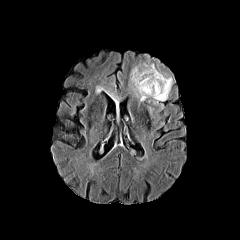
FLAIR MRI.
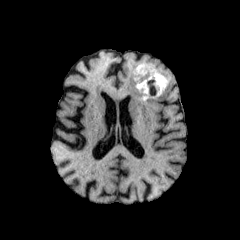
T1-weighted magnetic resonance.
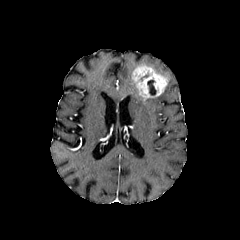
Post-contrast T1-weighted MR image.
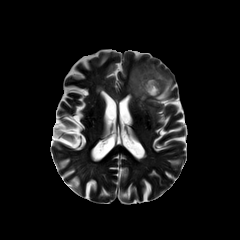
Same slice, T2-weighted magnetic resonance.
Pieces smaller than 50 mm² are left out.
{
  "enhancing_tumor": [
    "bbox(132, 65, 168, 98)"
  ],
  "necrotic_tumor_core": [
    "bbox(147, 79, 156, 95)"
  ],
  "peritumoral_edema": [
    "bbox(142, 63, 172, 104)",
    "bbox(130, 68, 145, 101)"
  ]
}